Slice 59 of 155; Axial plane
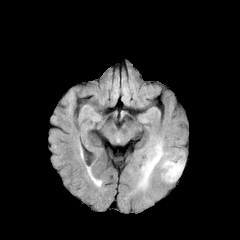
FLAIR MR.
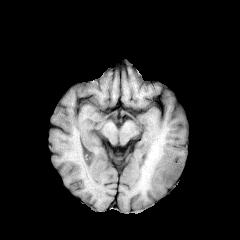
T1-weighted MRI.
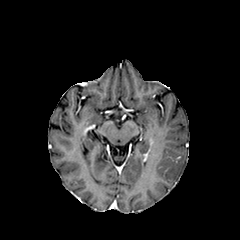
Same slice, post-contrast T1-weighted magnetic resonance.
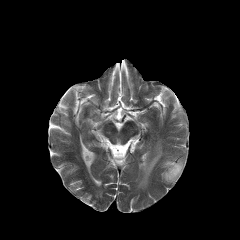
Same slice, T2-weighted MR.
peritumoral edema: x1=138, y1=142, x2=168, y2=188; x1=162, y1=157, x2=183, y2=182